Image width 240 mm, 1.00 mm slice spacing; Image size 240x240; Slice 85/155
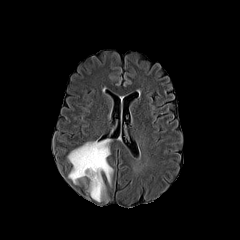
FLAIR MR.
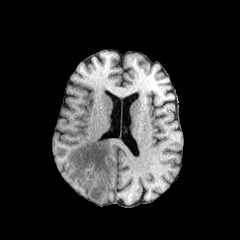
T1-weighted MRI of the same slice.
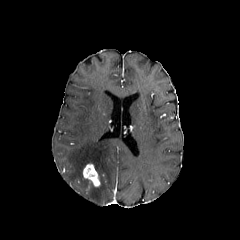
Same slice, post-contrast T1-weighted MR image.
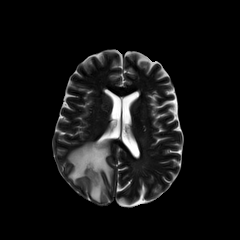
T2-weighted MR of the same slice.
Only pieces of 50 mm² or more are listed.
{"necrotic_tumor_core": ["(left=86, top=167, right=94, bottom=177)"], "peritumoral_edema": ["(left=67, top=139, right=112, bottom=201)"], "enhancing_tumor": ["(left=82, top=163, right=100, bottom=186)"]}